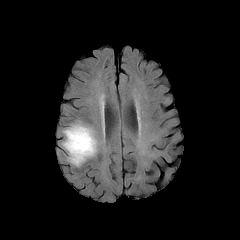
FLAIR MR.
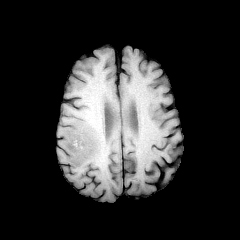
T1-weighted magnetic resonance.
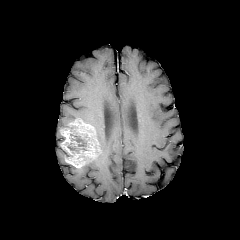
Same slice, post-contrast T1-weighted MR image.
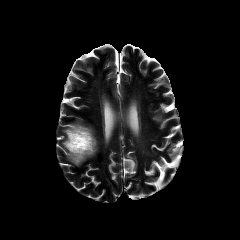
Same slice, T2-weighted MRI.
240x240
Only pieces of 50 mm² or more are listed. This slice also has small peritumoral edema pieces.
necrotic tumor core: bbox(67, 134, 87, 153) | enhancing tumor: bbox(61, 120, 99, 167)